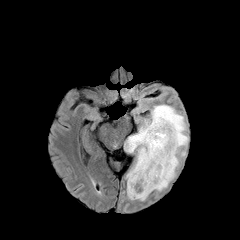
FLAIR magnetic resonance.
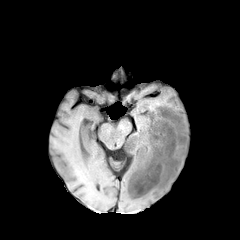
T1-weighted MRI.
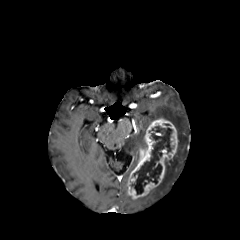
Same slice, post-contrast T1-weighted MRI.
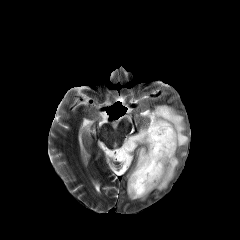
Same slice, T2-weighted MR image.
240x240 px, Brain
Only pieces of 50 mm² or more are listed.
peritumoral_edema:
  - bbox(124, 104, 188, 193)
enhancing_tumor:
  - bbox(127, 118, 178, 199)
necrotic_tumor_core:
  - bbox(131, 126, 172, 194)